Axial view | Head
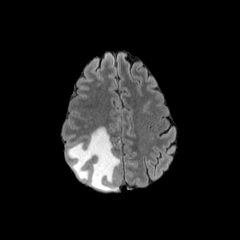
FLAIR MR.
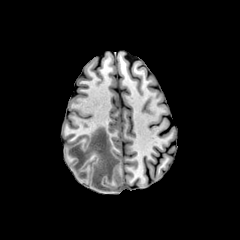
T1-weighted MR.
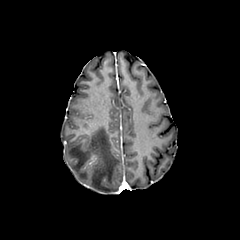
Post-contrast T1-weighted magnetic resonance of the same slice.
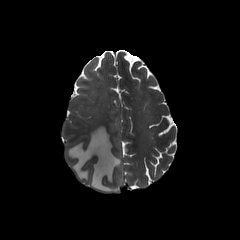
T2-weighted MR image.
Findings:
• peritumoral edema: left=67, top=127, right=120, bottom=191